Brain
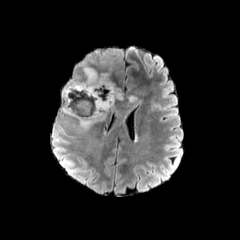
FLAIR MR image.
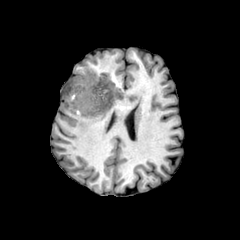
T1-weighted MRI of the same slice.
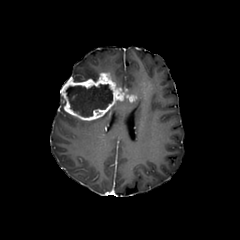
Same slice, post-contrast T1-weighted MR.
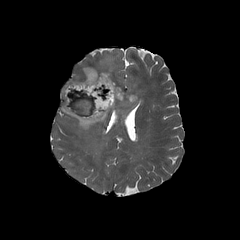
Same slice, T2-weighted magnetic resonance.
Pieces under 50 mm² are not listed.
<segmentation>
  <enhancing_tumor>region(60, 72, 134, 120)</enhancing_tumor>
  <necrotic_tumor_core>region(66, 84, 112, 117)</necrotic_tumor_core>
  <peritumoral_edema>region(61, 103, 107, 131); region(128, 96, 141, 104); region(73, 65, 99, 80)</peritumoral_edema>
</segmentation>